Axial view.
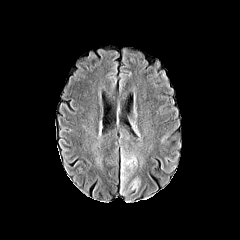
FLAIR MR image.
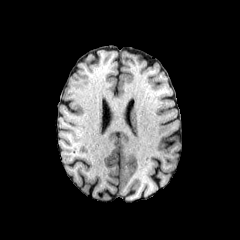
T1-weighted MR image.
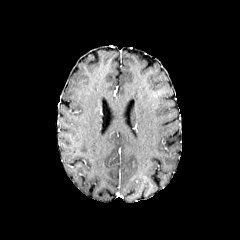
Same slice, post-contrast T1-weighted MR.
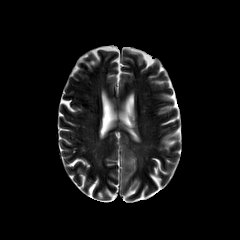
Same slice, T2-weighted magnetic resonance.
peritumoral edema = [128, 176, 140, 192], [120, 154, 137, 181]